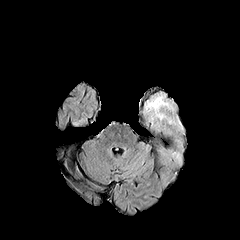
FLAIR MRI.
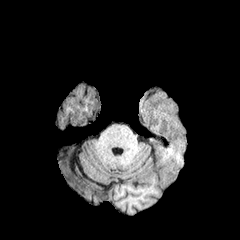
Same slice, T1-weighted MR image.
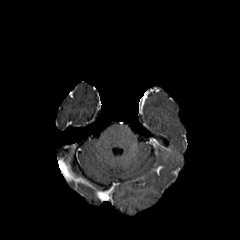
Post-contrast T1-weighted MRI.
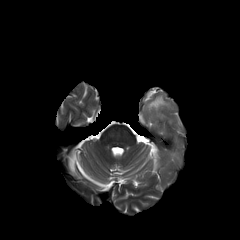
T2-weighted MRI.
Axial view. Head.
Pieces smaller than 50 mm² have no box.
{"peritumoral_edema": ["<bbox>145, 94, 173, 123</bbox>"]}